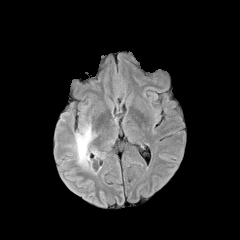
FLAIR magnetic resonance.
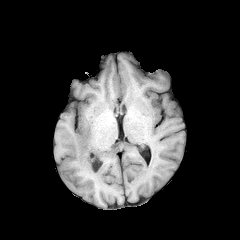
Same slice, T1-weighted magnetic resonance.
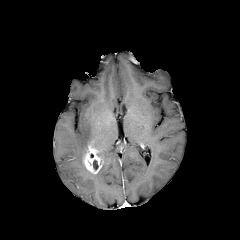
Post-contrast T1-weighted MR.
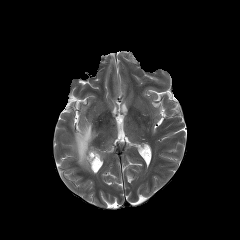
T2-weighted MR image.
Image size 240x240 | Brain | Axial slice
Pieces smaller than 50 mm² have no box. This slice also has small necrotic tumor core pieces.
enhancing tumor: region(82, 145, 101, 173)
peritumoral edema: region(70, 122, 96, 168)